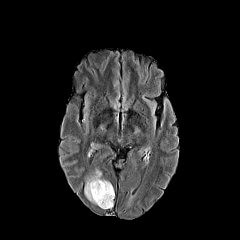
FLAIR magnetic resonance.
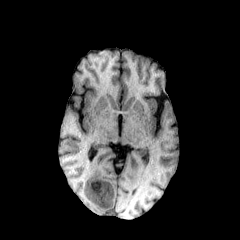
Same slice, T1-weighted MRI.
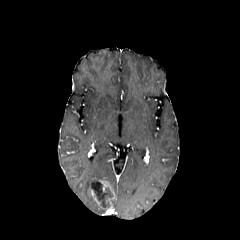
Post-contrast T1-weighted MRI of the same slice.
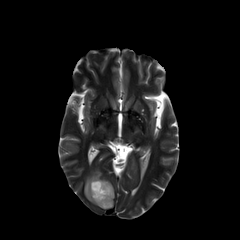
T2-weighted MR image.
Head
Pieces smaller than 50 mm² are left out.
• enhancing tumor: box=[88, 178, 114, 208]
• peritumoral edema: box=[84, 170, 101, 204]
• necrotic tumor core: box=[91, 179, 112, 207]